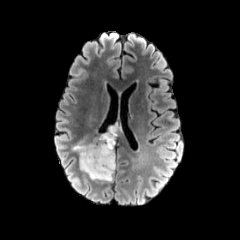
FLAIR MRI.
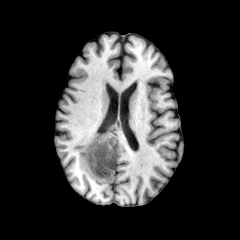
T1-weighted magnetic resonance of the same slice.
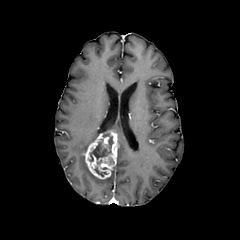
Same slice, post-contrast T1-weighted MR image.
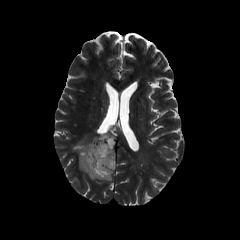
T2-weighted MRI of the same slice.
Brain
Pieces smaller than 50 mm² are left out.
The largest necrotic tumor core region is at {"x1": 89, "y1": 133, "x2": 113, "y2": 161}. The 2 largest peritumoral edema regions appear at {"x1": 101, "y1": 167, "x2": 115, "y2": 181}, {"x1": 73, "y1": 142, "x2": 100, "y2": 179}. The enhancing tumor lies within {"x1": 82, "y1": 129, "x2": 117, "y2": 179}.